Image size 240x240 | Axial view | Brain
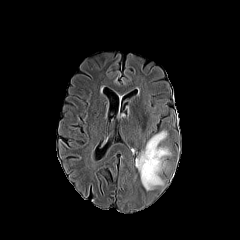
FLAIR magnetic resonance.
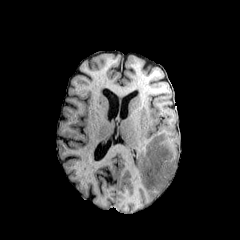
T1-weighted MRI.
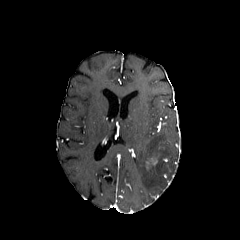
Post-contrast T1-weighted MR.
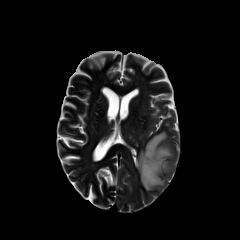
T2-weighted MR image of the same slice.
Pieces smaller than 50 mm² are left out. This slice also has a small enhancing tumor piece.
The peritumoral edema lies within <box>135,131,171,190</box>.